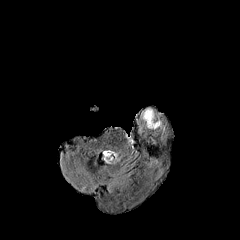
FLAIR MR image.
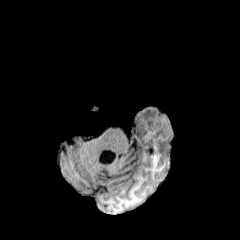
T1-weighted MR image.
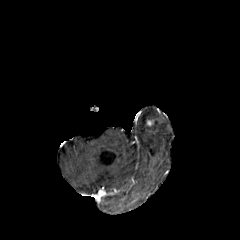
Post-contrast T1-weighted MR.
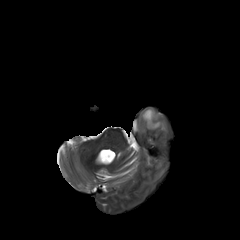
Same slice, T2-weighted MR.
240x240 px; Brain
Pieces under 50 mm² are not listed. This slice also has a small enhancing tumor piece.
peritumoral edema = box=[147, 120, 161, 128]; box=[142, 109, 154, 124]